Slice index 83 | 240x240 px
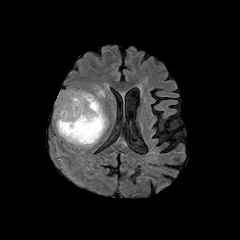
FLAIR magnetic resonance.
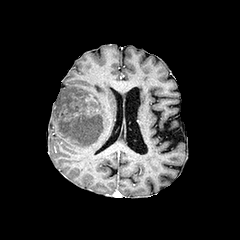
T1-weighted MRI of the same slice.
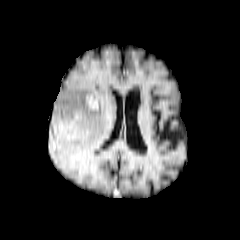
Same slice, post-contrast T1-weighted MR image.
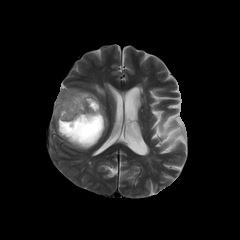
T2-weighted MRI.
enhancing tumor at <bbox>85, 93, 98, 109</bbox>
necrotic tumor core at <bbox>59, 115, 102, 143</bbox>
peritumoral edema at <bbox>54, 88, 108, 148</bbox>, <bbox>96, 89, 105, 98</bbox>